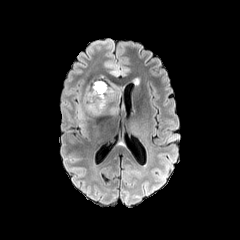
FLAIR magnetic resonance.
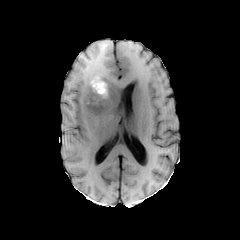
T1-weighted MR image of the same slice.
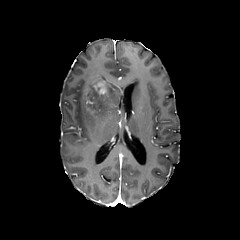
Post-contrast T1-weighted MRI.
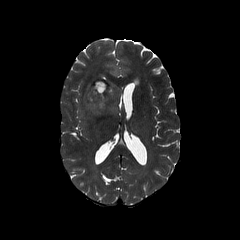
T2-weighted MR of the same slice.
Brain
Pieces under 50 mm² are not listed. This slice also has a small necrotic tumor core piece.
<segmentation>
  <enhancing_tumor>rect(87, 79, 107, 103)</enhancing_tumor>
  <peritumoral_edema>rect(79, 72, 119, 126)</peritumoral_edema>
</segmentation>